Slice index 105.
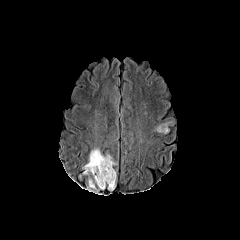
FLAIR MRI.
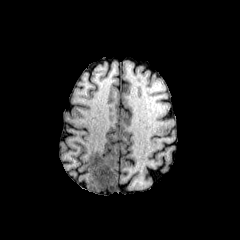
Same slice, T1-weighted MR image.
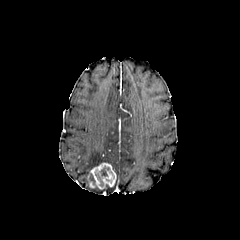
Post-contrast T1-weighted MRI.
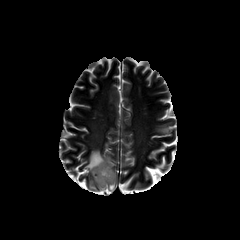
T2-weighted MRI.
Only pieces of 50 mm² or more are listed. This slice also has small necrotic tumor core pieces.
The enhancing tumor lies within 89, 162, 116, 189. The 3 largest peritumoral edema regions are bounded by 83, 149, 115, 174; 156, 121, 171, 132; 87, 178, 99, 191.